FLAIR MRI.
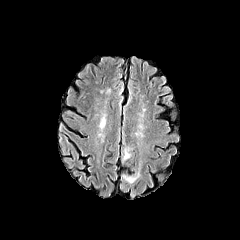
T1-weighted MR.
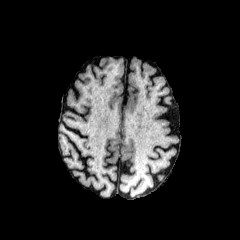
Post-contrast T1-weighted MRI.
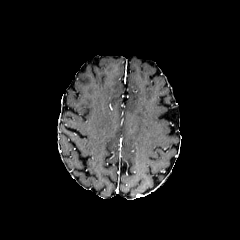
T2-weighted magnetic resonance.
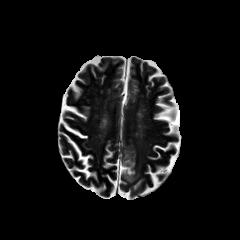
Brain
peritumoral edema: (122,147,131,162), (122,168,139,183)